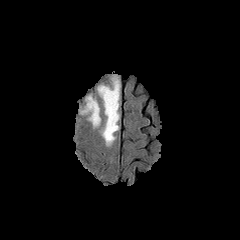
FLAIR MRI.
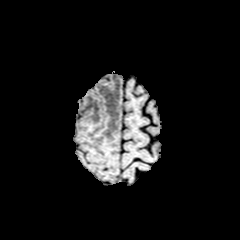
T1-weighted MR image.
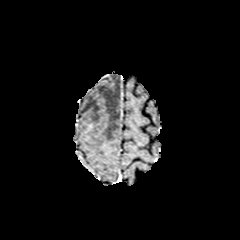
Same slice, post-contrast T1-weighted magnetic resonance.
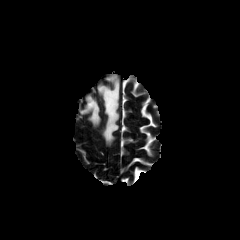
T2-weighted magnetic resonance of the same slice.
Brain.
peritumoral edema: [x1=81, y1=95, x2=100, y2=126], [x1=97, y1=76, x2=119, y2=145]